Brain. Axial view. 240x240.
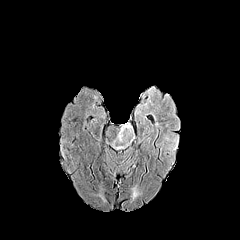
FLAIR MR.
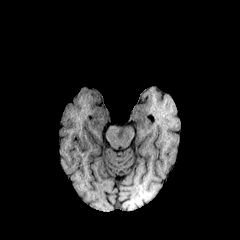
T1-weighted MR of the same slice.
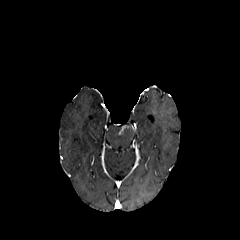
Same slice, post-contrast T1-weighted MRI.
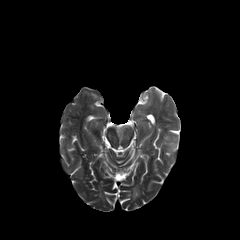
T2-weighted magnetic resonance of the same slice.
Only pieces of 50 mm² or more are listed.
Findings:
* peritumoral edema: region(118, 123, 133, 134)